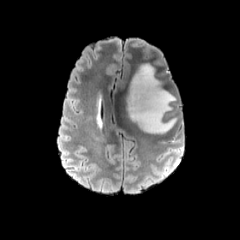
FLAIR MRI.
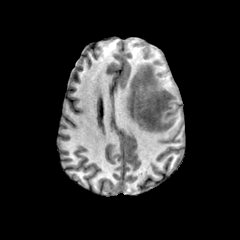
Same slice, T1-weighted MR.
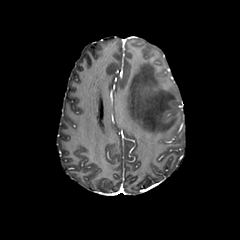
Post-contrast T1-weighted MRI.
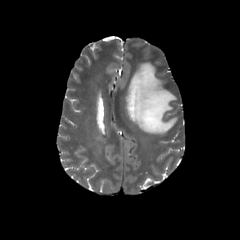
T2-weighted MRI.
peritumoral edema: 127, 63, 177, 134